FLAIR magnetic resonance.
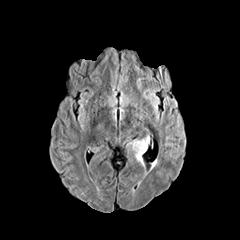
T1-weighted magnetic resonance.
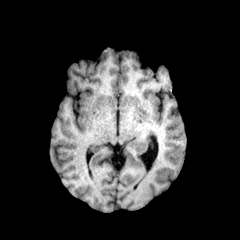
Post-contrast T1-weighted magnetic resonance.
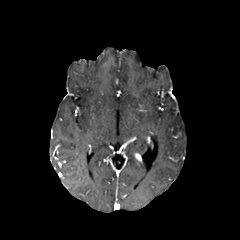
T2-weighted MR.
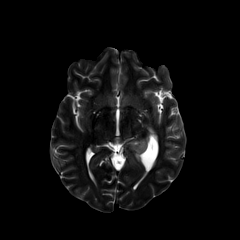
Head, Axial slice
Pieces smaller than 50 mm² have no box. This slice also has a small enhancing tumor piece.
peritumoral edema: (130, 140, 147, 155)